Head
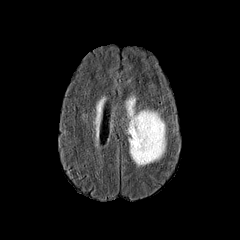
FLAIR MR image.
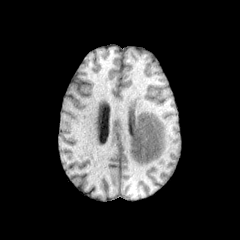
T1-weighted MR image of the same slice.
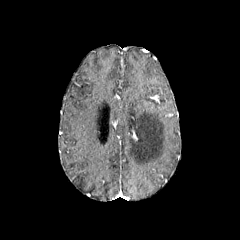
Post-contrast T1-weighted MR image of the same slice.
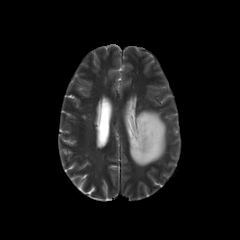
Same slice, T2-weighted MR image.
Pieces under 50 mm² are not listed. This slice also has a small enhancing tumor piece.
{
  "peritumoral_edema": [
    "(126, 97, 165, 165)"
  ]
}